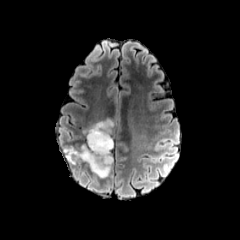
FLAIR MR.
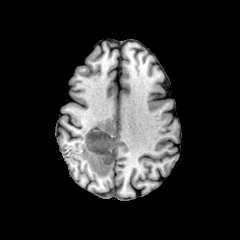
T1-weighted MR of the same slice.
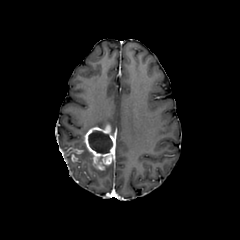
Post-contrast T1-weighted MRI of the same slice.
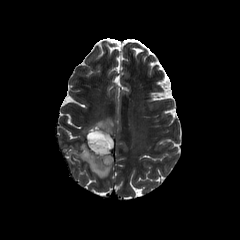
T2-weighted MR.
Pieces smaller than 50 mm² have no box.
peritumoral edema = bbox=[83, 119, 114, 134]; bbox=[75, 144, 112, 177]
enhancing tumor = bbox=[85, 123, 115, 171]; bbox=[67, 147, 83, 161]
necrotic tumor core = bbox=[88, 130, 112, 153]